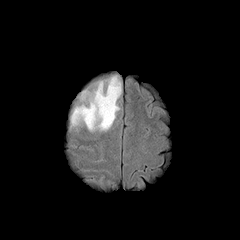
FLAIR magnetic resonance.
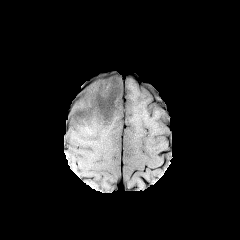
T1-weighted MR of the same slice.
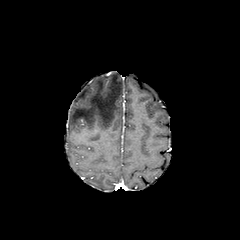
Post-contrast T1-weighted MR image.
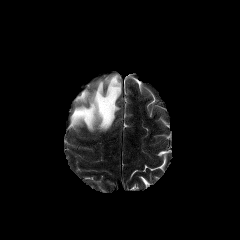
T2-weighted magnetic resonance.
peritumoral_edema:
  - (70,75,121,131)